FLAIR MR image.
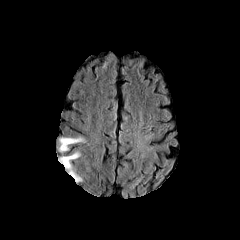
T1-weighted magnetic resonance.
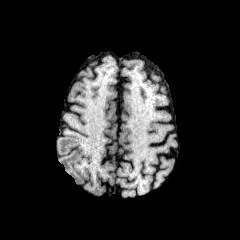
Post-contrast T1-weighted magnetic resonance.
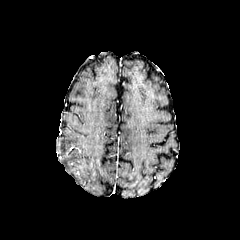
T2-weighted magnetic resonance.
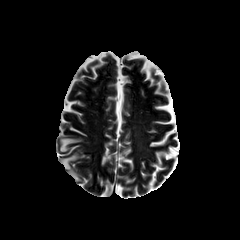
Brain.
2 peritumoral edema regions are bounded by x1=59, y1=137, x2=84, y2=151; x1=59, y1=152, x2=81, y2=182.